FLAIR MRI.
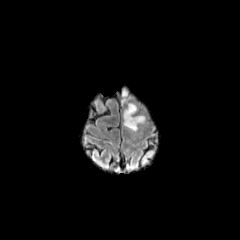
T1-weighted MRI.
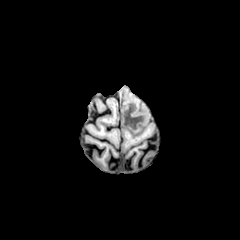
Post-contrast T1-weighted MR image.
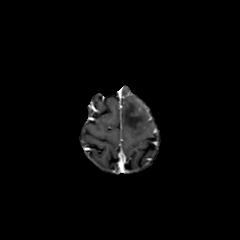
T2-weighted MR image.
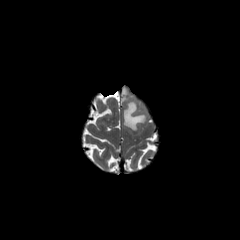
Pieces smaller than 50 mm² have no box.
Annotated regions:
• peritumoral edema: 123 102 146 131